Image width 240 mm, 1.00 mm slice spacing | Slice index 34 | Image size 240x240 | Brain | Axial plane
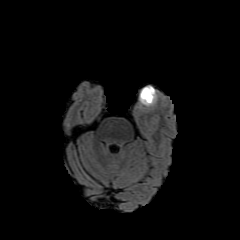
FLAIR MRI.
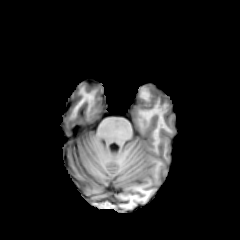
T1-weighted MR of the same slice.
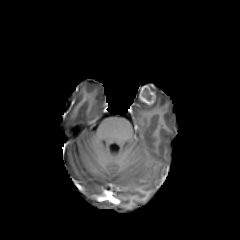
Post-contrast T1-weighted MR image.
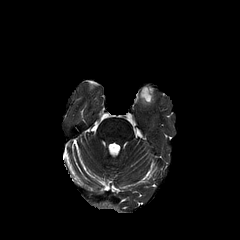
Same slice, T2-weighted MRI.
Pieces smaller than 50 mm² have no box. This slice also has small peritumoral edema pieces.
enhancing_tumor:
  - (139,83,155,104)
necrotic_tumor_core:
  - (142,88,152,101)